Axial plane. 240x240 px. Image width 240 mm, 1.00 mm slice spacing. Slice 63 of 155. Brain.
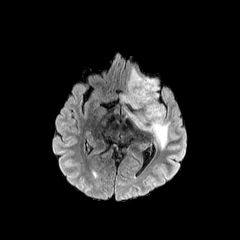
FLAIR MR.
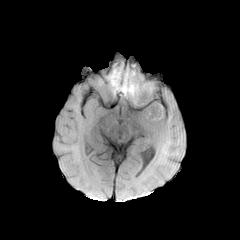
Same slice, T1-weighted MR.
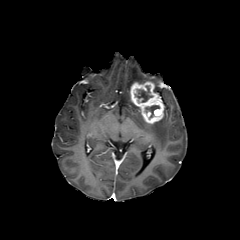
Post-contrast T1-weighted MR image of the same slice.
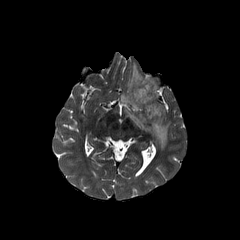
T2-weighted MRI.
peritumoral edema = bbox(121, 68, 169, 150)
necrotic tumor core = bbox(135, 87, 152, 102); bbox(145, 105, 159, 117)
enhancing tumor = bbox(129, 81, 164, 124)